Slice index 84; 240x240 px
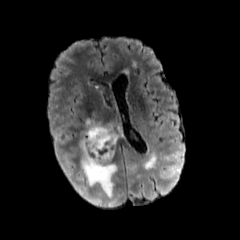
FLAIR MR image.
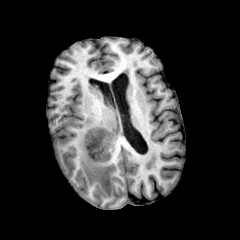
T1-weighted MR.
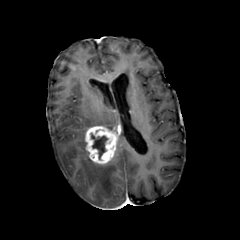
Post-contrast T1-weighted magnetic resonance.
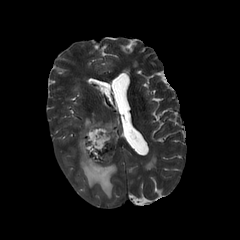
T2-weighted magnetic resonance of the same slice.
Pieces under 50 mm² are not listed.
- necrotic tumor core: x1=91 y1=134 x2=107 y2=159
- enhancing tumor: x1=85 y1=126 x2=120 y2=164
- peritumoral edema: x1=79 y1=138 x2=117 y2=198, x1=85 y1=119 x2=102 y2=127